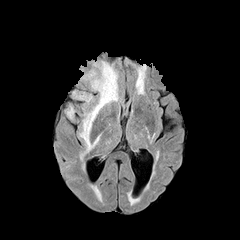
FLAIR MR.
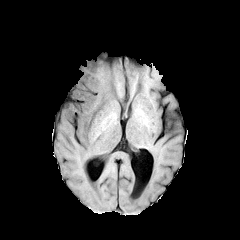
T1-weighted MR image.
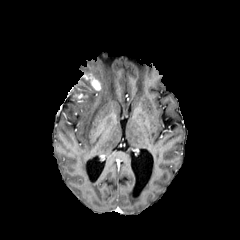
Post-contrast T1-weighted MR image of the same slice.
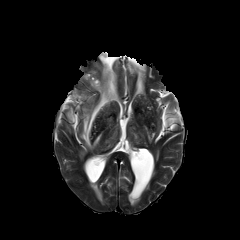
T2-weighted MRI of the same slice.
Head
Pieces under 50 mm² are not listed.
<segmentation>
  <peritumoral_edema>rect(80, 95, 93, 101); rect(80, 61, 117, 151); rect(67, 107, 73, 119)</peritumoral_edema>
  <enhancing_tumor>rect(73, 93, 87, 99); rect(81, 73, 101, 90)</enhancing_tumor>
</segmentation>